FLAIR MRI.
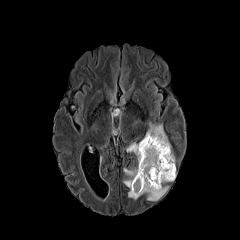
T1-weighted MR image.
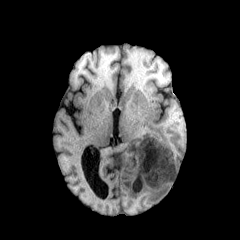
Post-contrast T1-weighted MR.
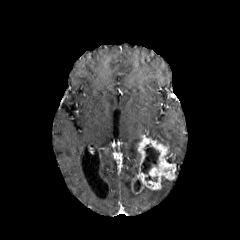
T2-weighted MRI.
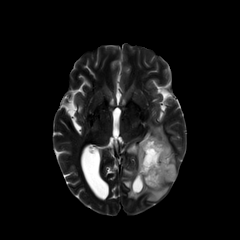
Axial slice, Brain
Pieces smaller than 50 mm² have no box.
necrotic tumor core = [134, 179, 141, 191], [145, 175, 157, 181], [141, 143, 159, 174]
peritumoral edema = [146, 122, 175, 163], [123, 142, 168, 201]
enhancing tumor = [132, 136, 175, 193]